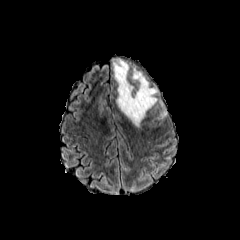
FLAIR MRI.
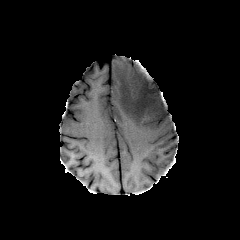
Same slice, T1-weighted magnetic resonance.
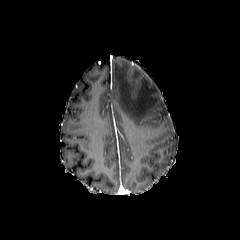
Same slice, post-contrast T1-weighted MR image.
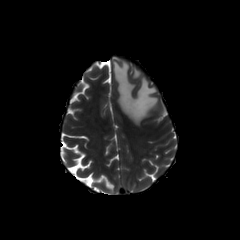
T2-weighted MR image.
240x240 px, Axial slice
peritumoral edema: box(113, 59, 158, 126); box(160, 102, 167, 116)